FLAIR magnetic resonance.
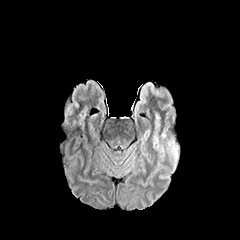
T1-weighted MR image.
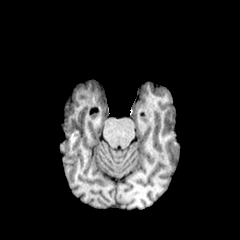
Post-contrast T1-weighted magnetic resonance.
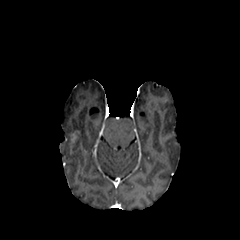
T2-weighted MR image.
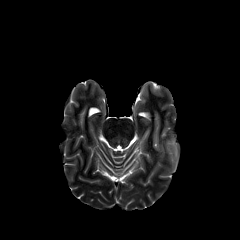
Head.
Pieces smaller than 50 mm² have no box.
{
  "peritumoral_edema": [
    "(left=166, top=137, right=178, bottom=168)"
  ]
}